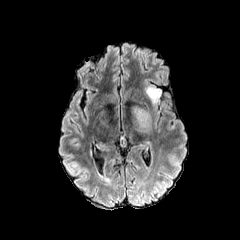
FLAIR MR.
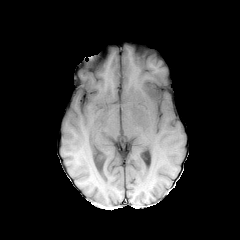
T1-weighted magnetic resonance of the same slice.
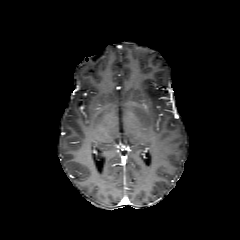
Same slice, post-contrast T1-weighted MR image.
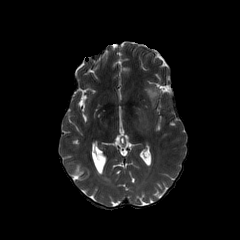
T2-weighted MRI.
240x240. Axial plane.
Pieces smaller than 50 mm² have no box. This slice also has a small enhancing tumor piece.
peritumoral_edema:
  - l=145, t=85, r=161, b=105
  - l=132, t=106, r=151, b=127